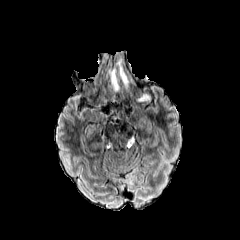
FLAIR magnetic resonance.
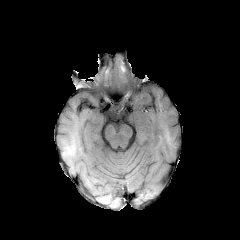
T1-weighted magnetic resonance.
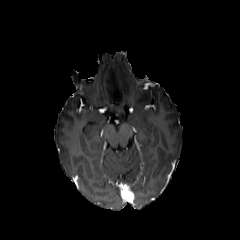
Post-contrast T1-weighted MR.
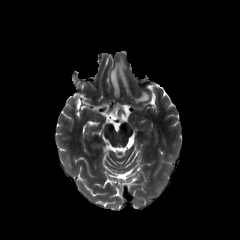
T2-weighted magnetic resonance of the same slice.
Axial plane
Annotated regions:
- peritumoral edema: x1=137 y1=93 x2=149 y2=101, x1=119 y1=62 x2=126 y2=84, x1=110 y1=69 x2=119 y2=91